FLAIR MRI.
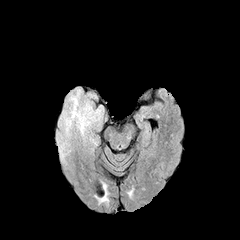
T1-weighted magnetic resonance.
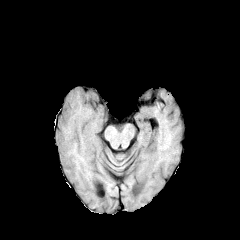
Post-contrast T1-weighted MR image.
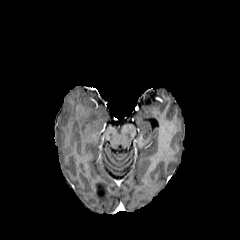
T2-weighted MR image.
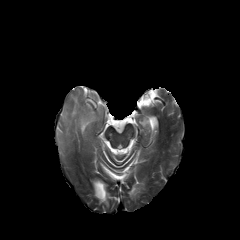
Axial view, Brain
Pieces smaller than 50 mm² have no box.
peritumoral edema — box=[56, 87, 107, 148]